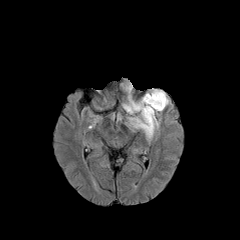
FLAIR magnetic resonance.
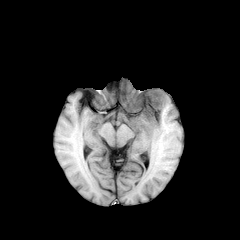
Same slice, T1-weighted MR image.
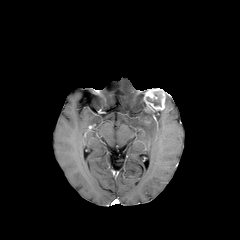
Post-contrast T1-weighted MRI of the same slice.
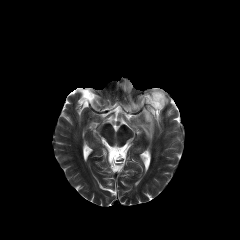
T2-weighted MRI of the same slice.
Axial slice, Head
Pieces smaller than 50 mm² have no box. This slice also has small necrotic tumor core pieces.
The largest enhancing tumor region is bounded by left=142, top=88, right=165, bottom=119. The largest peritumoral edema region is bounded by left=123, top=87, right=157, bottom=138.